FLAIR MR image.
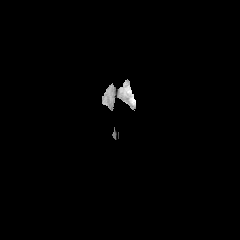
T1-weighted MR image.
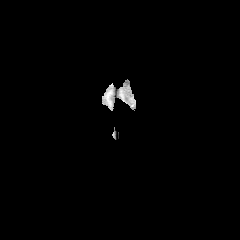
Post-contrast T1-weighted MRI.
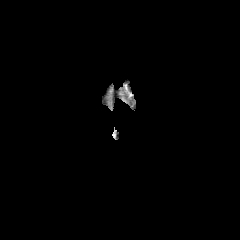
T2-weighted MR image.
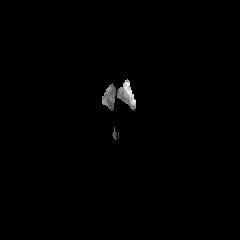
Head, Image size 240x240, Axial plane
{
  "peritumoral_edema": [
    "l=125, t=83, r=135, b=104"
  ]
}